FLAIR MR.
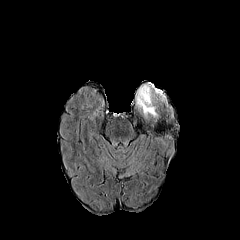
T1-weighted MR.
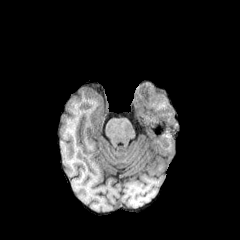
Post-contrast T1-weighted MR image.
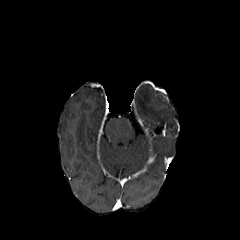
T2-weighted MR image.
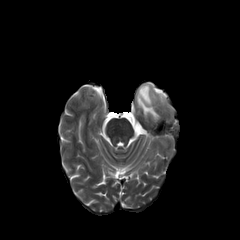
Brain
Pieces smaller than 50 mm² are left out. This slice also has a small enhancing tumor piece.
The largest peritumoral edema region lies within 136 84 157 116.